Brain, Slice 58/155
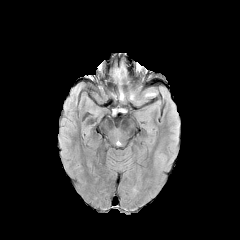
FLAIR MR.
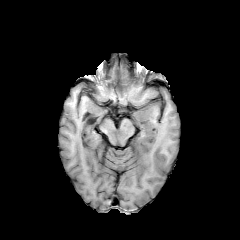
T1-weighted magnetic resonance.
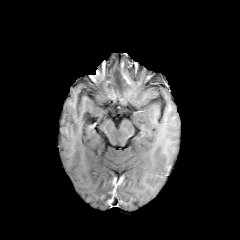
Post-contrast T1-weighted MR of the same slice.
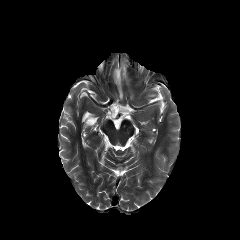
T2-weighted MR.
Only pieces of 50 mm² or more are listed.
The enhancing tumor is located at [x1=121, y1=62, x2=130, y2=83]. The 2 largest peritumoral edema regions are located at [x1=113, y1=67, x2=123, y2=85], [x1=126, y1=82, x2=161, y2=104].